Axial plane, Slice index 96, Brain
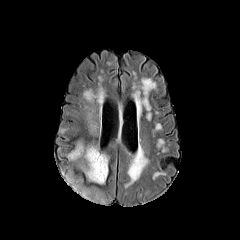
FLAIR MRI.
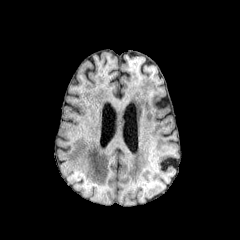
Same slice, T1-weighted magnetic resonance.
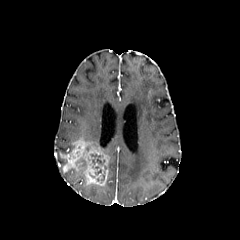
Post-contrast T1-weighted magnetic resonance.
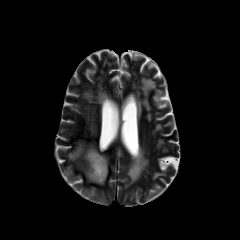
T2-weighted MR of the same slice.
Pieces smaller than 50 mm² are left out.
necrotic tumor core at l=91, t=154, r=104, b=165
peritumoral edema at l=75, t=159, r=86, b=172
enhancing tumor at l=58, t=137, r=108, b=185